240x240. Image width 240 mm, 1.00 mm slice spacing.
FLAIR MR.
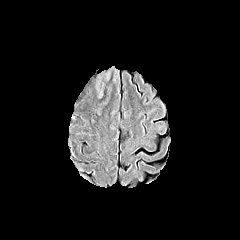
T1-weighted magnetic resonance.
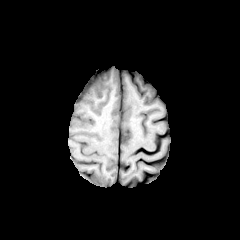
Post-contrast T1-weighted MR image.
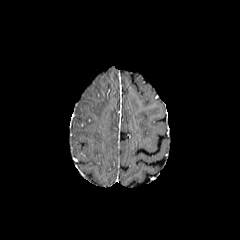
T2-weighted MR image.
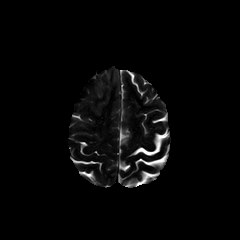
The peritumoral edema appears at rect(95, 68, 112, 96).